Brain. Axial slice.
FLAIR MRI.
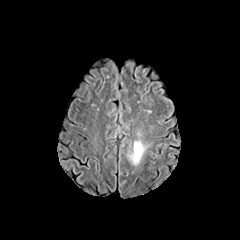
T1-weighted magnetic resonance.
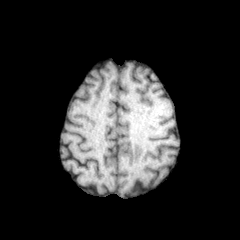
Post-contrast T1-weighted MR image.
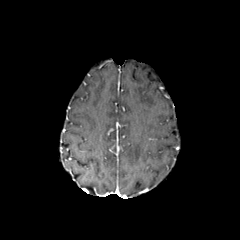
T2-weighted magnetic resonance.
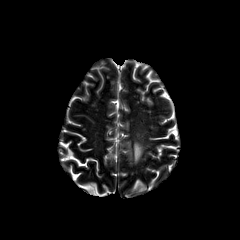
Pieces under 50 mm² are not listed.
The largest peritumoral edema region is located at bbox=[127, 139, 147, 164].